FLAIR MRI.
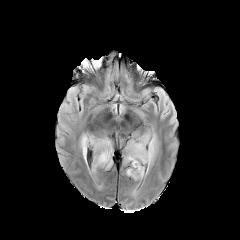
T1-weighted magnetic resonance.
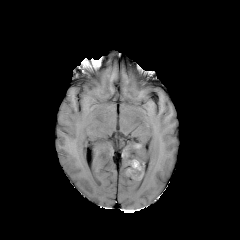
Post-contrast T1-weighted MRI.
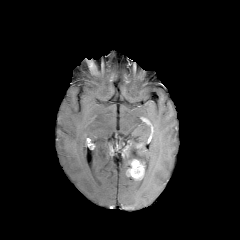
T2-weighted MRI.
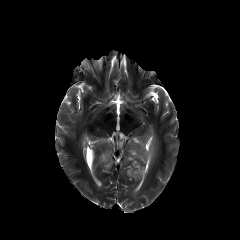
Brain | 240x240 px
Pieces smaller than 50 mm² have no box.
The 3 largest peritumoral edema regions appear at <bbox>89, 136, 112, 173</bbox>, <bbox>81, 135, 87, 160</bbox>, <bbox>125, 133, 156, 176</bbox>. The enhancing tumor appears at <bbox>127, 159, 144, 179</bbox>.